FLAIR magnetic resonance.
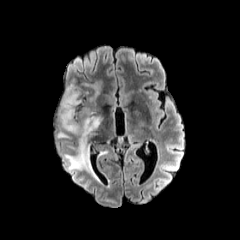
T1-weighted MR image.
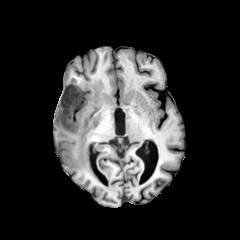
Post-contrast T1-weighted MR.
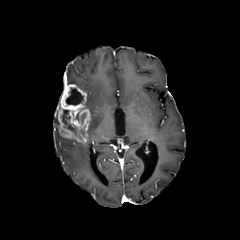
T2-weighted MR.
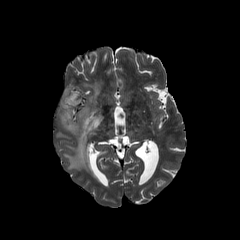
Axial slice
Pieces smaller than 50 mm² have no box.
<segmentation>
  <peritumoral_edema>(x1=87, y1=111, x2=102, y2=135), (x1=85, y1=81, x2=101, y2=101), (x1=64, y1=143, x2=97, y2=179)</peritumoral_edema>
  <necrotic_tumor_core>(x1=66, y1=88, x2=83, y2=105), (x1=61, y1=110, x2=76, y2=134)</necrotic_tumor_core>
  <enhancing_tumor>(x1=57, y1=84, x2=90, y2=144)</enhancing_tumor>
</segmentation>